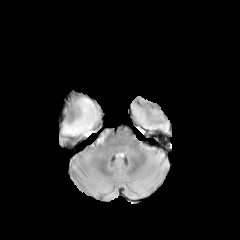
FLAIR MRI.
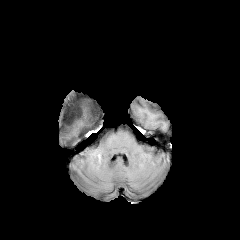
T1-weighted MR.
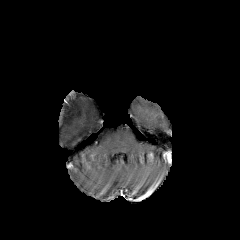
Post-contrast T1-weighted MR.
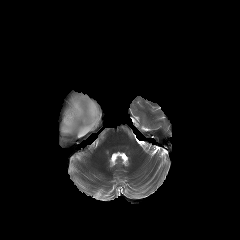
T2-weighted MRI.
Axial plane. 240x240 px.
peritumoral edema: [61,96,99,135]